Slice 96/155; Image width 240 mm, 1.00 mm slice spacing
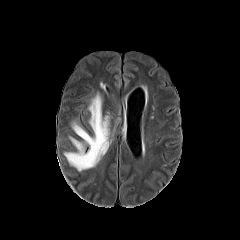
FLAIR MR image.
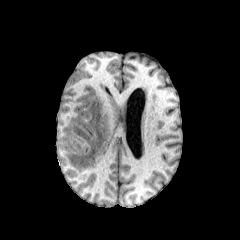
T1-weighted magnetic resonance of the same slice.
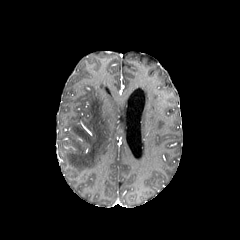
Same slice, post-contrast T1-weighted MRI.
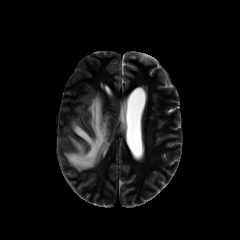
T2-weighted magnetic resonance.
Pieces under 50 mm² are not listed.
The largest peritumoral edema region lies within (x1=64, y1=91, x2=112, y2=171).